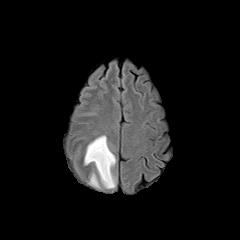
FLAIR MRI.
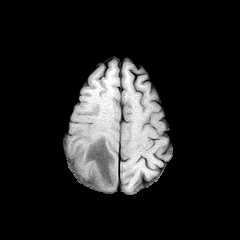
Same slice, T1-weighted magnetic resonance.
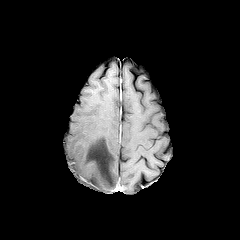
Post-contrast T1-weighted MR image of the same slice.
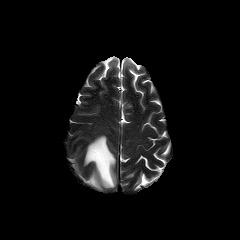
Same slice, T2-weighted MR.
Axial view
The peritumoral edema lies within rect(84, 135, 115, 188).